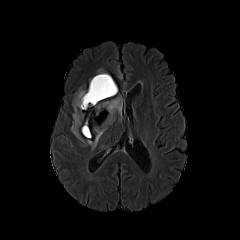
FLAIR MR.
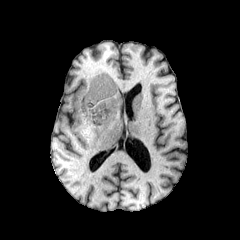
T1-weighted MRI of the same slice.
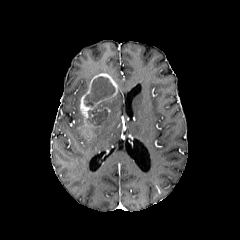
Post-contrast T1-weighted MRI.
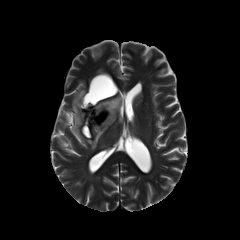
T2-weighted MR.
Axial slice. Brain.
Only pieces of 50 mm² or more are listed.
The enhancing tumor is located at 80 73 117 127. 2 necrotic tumor core regions appear at 84 76 115 105, 88 105 108 125. The 3 largest peritumoral edema regions are located at 71 90 86 140, 81 120 106 149, 102 96 122 125.